Image width 240 mm; Slice index 80
FLAIR MRI.
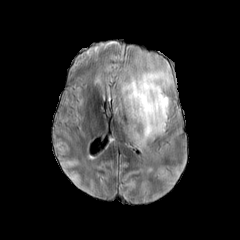
T1-weighted MR.
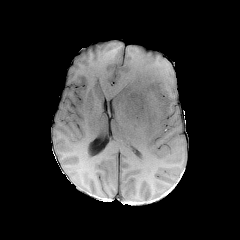
Post-contrast T1-weighted MR.
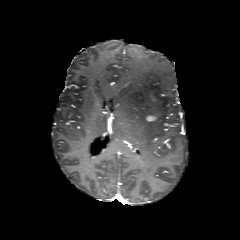
T2-weighted magnetic resonance.
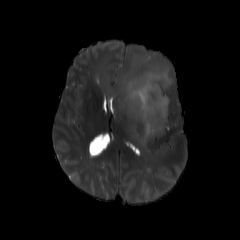
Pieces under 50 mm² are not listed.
<segmentation>
  <enhancing_tumor>(left=146, top=115, right=156, bottom=121)</enhancing_tumor>
  <peritumoral_edema>(left=116, top=64, right=173, bottom=145)</peritumoral_edema>
</segmentation>